Axial plane.
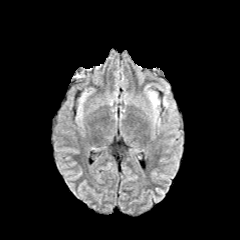
FLAIR MR.
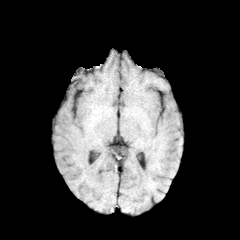
Same slice, T1-weighted MRI.
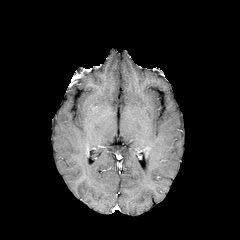
Post-contrast T1-weighted MR image.
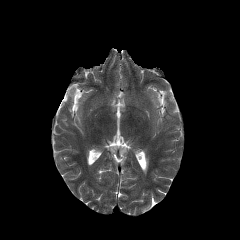
T2-weighted MRI of the same slice.
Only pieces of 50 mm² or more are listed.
The largest peritumoral edema region appears at rect(151, 93, 158, 104).